FLAIR MRI.
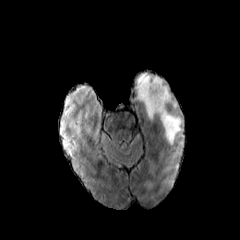
T1-weighted magnetic resonance.
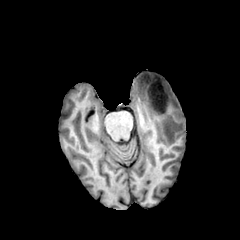
Post-contrast T1-weighted MRI.
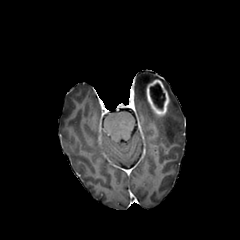
T2-weighted magnetic resonance.
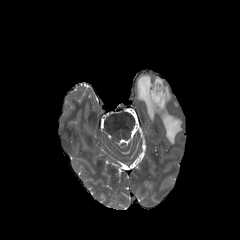
Axial view | Head
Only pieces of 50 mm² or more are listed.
* necrotic tumor core: <box>150,83,165,108</box>
* peritumoral edema: <box>136,73,159,119</box>, <box>160,112,182,144</box>, <box>164,84,177,108</box>
* enhancing tumor: <box>146,79,169,116</box>